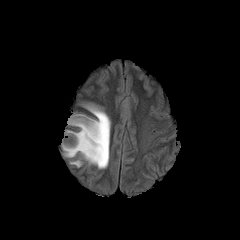
FLAIR MR.
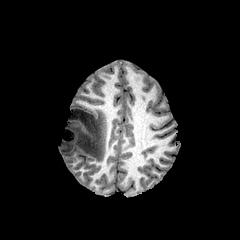
T1-weighted MR image.
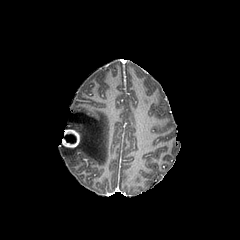
Same slice, post-contrast T1-weighted MR image.
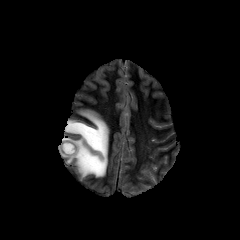
T2-weighted magnetic resonance of the same slice.
240x240
peritumoral edema: bbox(62, 106, 110, 171) | enhancing tumor: bbox(62, 129, 79, 147) | necrotic tumor core: bbox(64, 134, 76, 143)